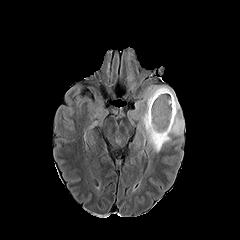
FLAIR MR.
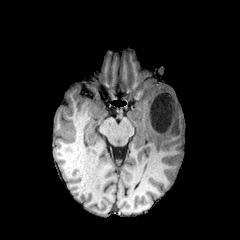
T1-weighted MRI.
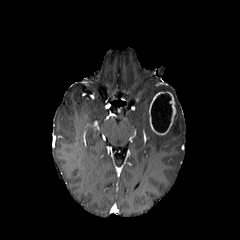
Same slice, post-contrast T1-weighted MR image.
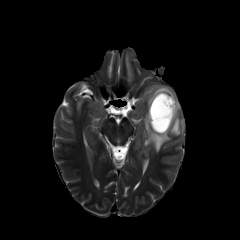
T2-weighted MR.
Brain, Axial view, 240x240
peritumoral edema: box(142, 85, 184, 152)
enhancing tumor: box(149, 91, 175, 135)
necrotic tumor core: box(151, 93, 172, 132)